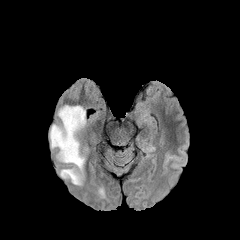
FLAIR MR.
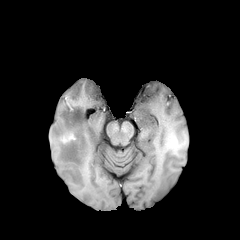
T1-weighted MR of the same slice.
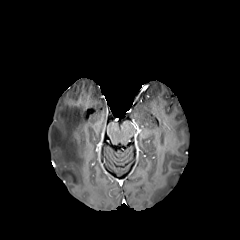
Post-contrast T1-weighted magnetic resonance.
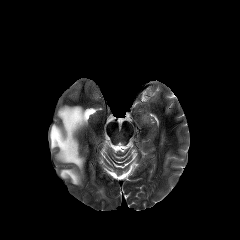
T2-weighted MRI of the same slice.
Axial slice
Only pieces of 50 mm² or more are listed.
peritumoral edema: bounding box (left=50, top=105, right=86, bottom=184)